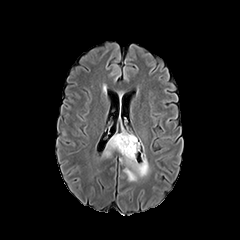
FLAIR MRI.
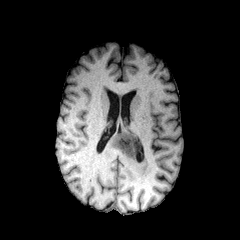
T1-weighted MR.
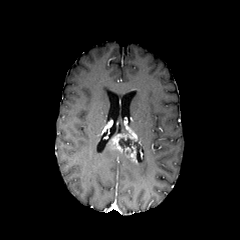
Same slice, post-contrast T1-weighted MRI.
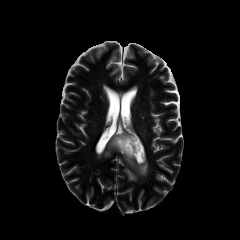
T2-weighted magnetic resonance of the same slice.
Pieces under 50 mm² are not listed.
2 enhancing tumor regions are bounded by (left=110, top=133, right=137, bottom=152), (left=124, top=146, right=136, bottom=162). The necrotic tumor core is at (left=119, top=137, right=139, bottom=154). The 2 largest peritumoral edema regions are located at (left=103, top=138, right=115, bottom=157), (left=121, top=153, right=148, bottom=180).